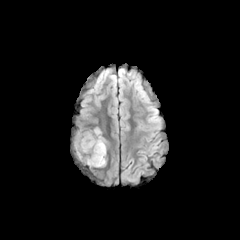
FLAIR MR.
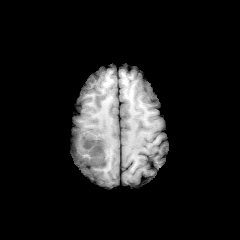
Same slice, T1-weighted MR image.
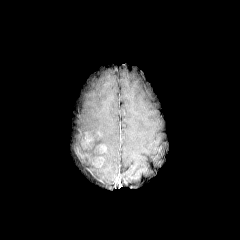
Post-contrast T1-weighted MRI.
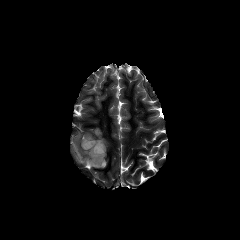
Same slice, T2-weighted MR image.
Head.
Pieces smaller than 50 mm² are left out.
Segmented structures:
* enhancing tumor: 89,156,104,166; 94,144,106,153; 81,134,94,149
* peritumoral edema: 80,128,106,167